Image covers 240 mm x 240 mm. Slice index 68.
FLAIR MR.
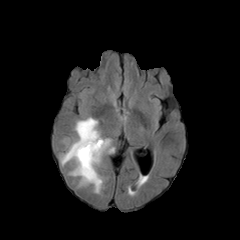
T1-weighted MR image.
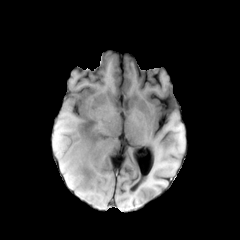
Post-contrast T1-weighted magnetic resonance.
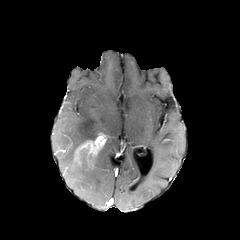
T2-weighted MRI.
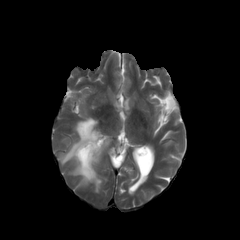
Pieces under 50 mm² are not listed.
enhancing tumor: l=74, t=133, r=106, b=168 | peritumoral edema: l=60, t=117, r=114, b=192